Head
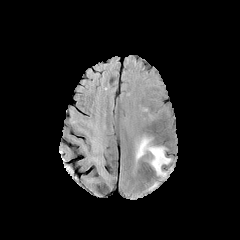
FLAIR magnetic resonance.
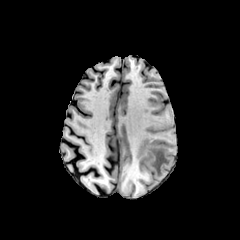
T1-weighted MRI.
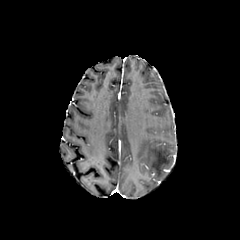
Post-contrast T1-weighted MR.
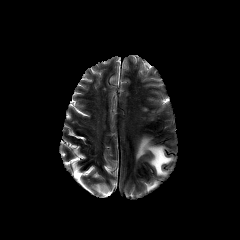
T2-weighted MR image.
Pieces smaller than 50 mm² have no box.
peritumoral edema = [x1=136, y1=136, x2=171, y2=176]